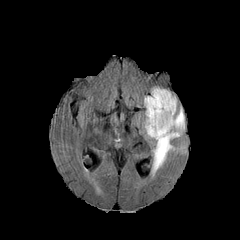
FLAIR magnetic resonance.
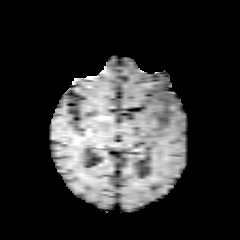
T1-weighted MR of the same slice.
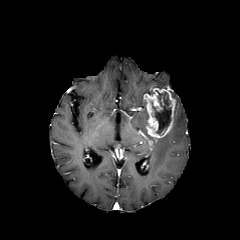
Same slice, post-contrast T1-weighted MR image.
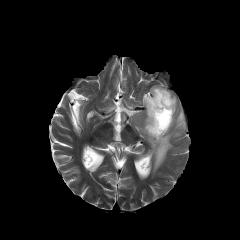
Same slice, T2-weighted MR image.
Axial view, Brain
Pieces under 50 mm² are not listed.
enhancing_tumor:
  - left=144, top=88, right=175, bottom=140
peritumoral_edema:
  - left=143, top=109, right=154, bottom=139
  - left=152, top=96, right=185, bottom=175
necrotic_tumor_core:
  - left=152, top=92, right=171, bottom=134